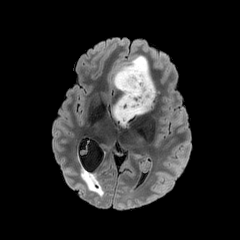
FLAIR MRI.
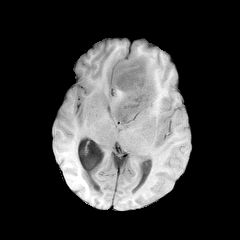
T1-weighted MR image.
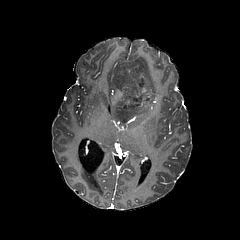
Post-contrast T1-weighted magnetic resonance.
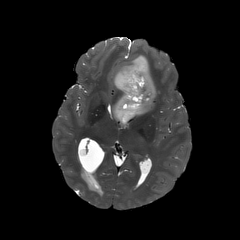
T2-weighted magnetic resonance.
Axial slice. 240x240. Head.
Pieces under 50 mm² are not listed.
{
  "necrotic_tumor_core": [
    "<bbox>117, 60, 151, 123</bbox>"
  ],
  "peritumoral_edema": [
    "<bbox>112, 54, 156, 120</bbox>"
  ]
}